FLAIR MR.
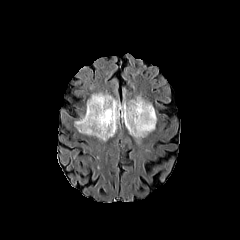
T1-weighted MRI.
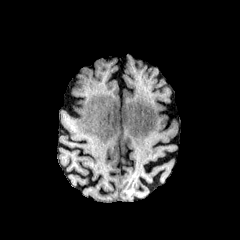
Post-contrast T1-weighted MRI.
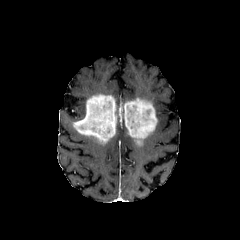
T2-weighted MR.
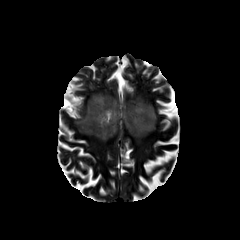
Head, Axial plane
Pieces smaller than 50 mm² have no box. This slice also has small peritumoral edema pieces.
<segmentation>
  <enhancing_tumor>74 94 157 144</enhancing_tumor>
</segmentation>